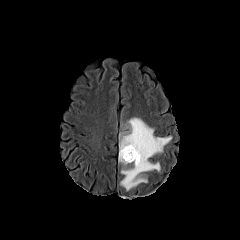
FLAIR MR.
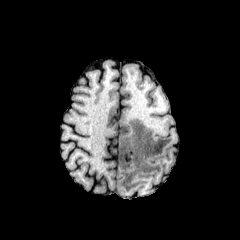
T1-weighted magnetic resonance.
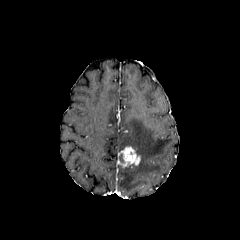
Post-contrast T1-weighted MR image.
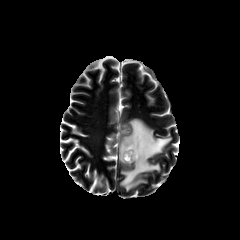
T2-weighted MRI.
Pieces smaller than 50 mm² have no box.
The enhancing tumor lies within box=[119, 146, 140, 166]. The largest peritumoral edema region lies within box=[119, 117, 171, 190].